Slice index 102. Head.
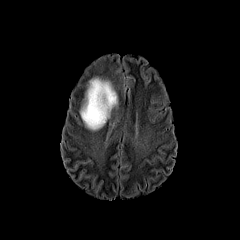
FLAIR MR.
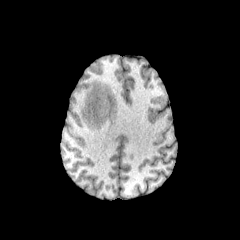
T1-weighted MRI.
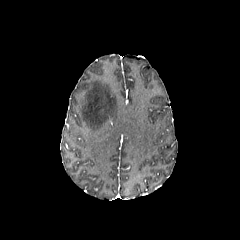
Post-contrast T1-weighted MRI.
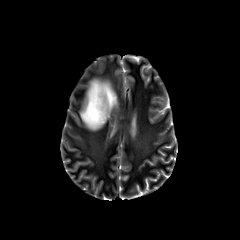
T2-weighted MRI.
peritumoral_edema:
  - [79,75,118,130]